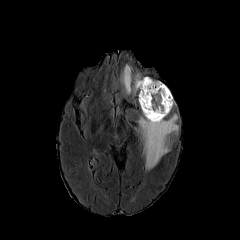
FLAIR magnetic resonance.
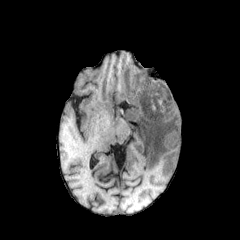
Same slice, T1-weighted MRI.
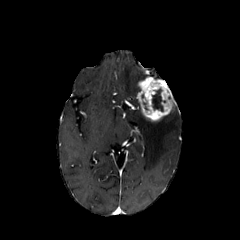
Same slice, post-contrast T1-weighted MRI.
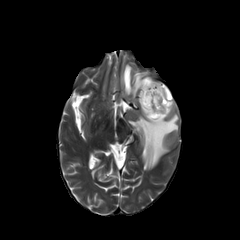
T2-weighted MR.
Head
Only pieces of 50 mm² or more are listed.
necrotic tumor core: bounding box <box>152,89,163,111</box>
peritumoral edema: bounding box <box>137,113,178,169</box>, <box>120,64,145,96</box>
enhancing tumor: bounding box <box>137,77,175,121</box>